FLAIR MR.
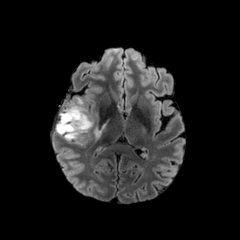
T1-weighted MR.
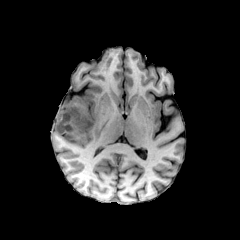
Post-contrast T1-weighted magnetic resonance.
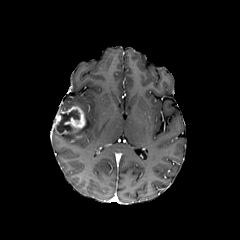
T2-weighted MR image.
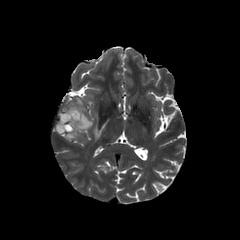
Axial view | 240x240 px | Head
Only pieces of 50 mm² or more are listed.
peritumoral edema: left=63, top=98, right=84, bottom=112; left=64, top=114, right=91, bottom=140 | enhancing tumor: left=56, top=106, right=85, bottom=133 | necrotic tumor core: left=58, top=110, right=79, bottom=132